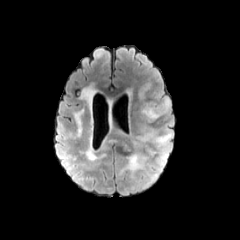
FLAIR MRI.
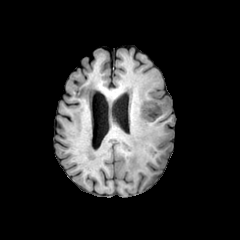
Same slice, T1-weighted MRI.
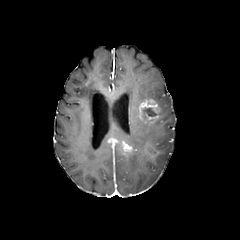
Same slice, post-contrast T1-weighted MR.
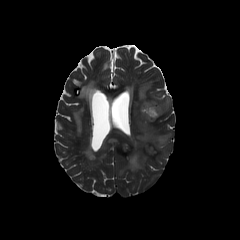
T2-weighted magnetic resonance.
Brain.
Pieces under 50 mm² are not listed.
The 4 largest peritumoral edema regions are bounded by bbox=[158, 97, 170, 115]; bbox=[125, 153, 145, 172]; bbox=[145, 146, 154, 156]; bbox=[137, 119, 171, 145]. The 2 largest enhancing tumor regions are bounded by bbox=[122, 142, 131, 150]; bbox=[138, 99, 161, 122]. The largest necrotic tumor core region lies within bbox=[143, 108, 156, 116].